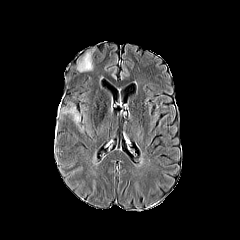
FLAIR magnetic resonance.
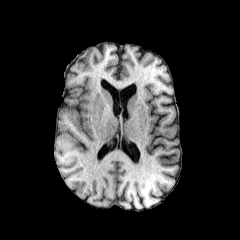
T1-weighted magnetic resonance.
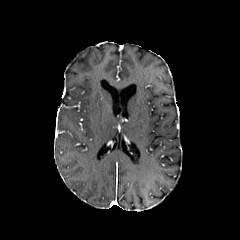
Same slice, post-contrast T1-weighted MR.
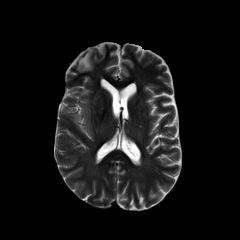
T2-weighted MR image.
peritumoral_edema:
  - bbox(76, 47, 95, 72)
  - bbox(61, 102, 84, 132)